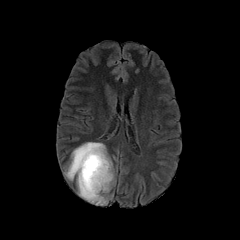
FLAIR MR image.
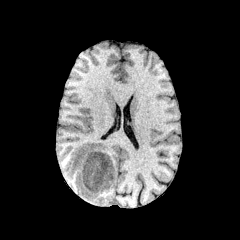
Same slice, T1-weighted MR.
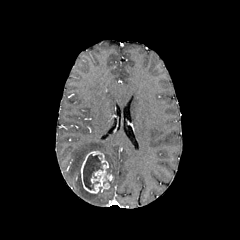
Post-contrast T1-weighted MRI.
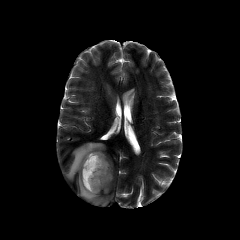
T2-weighted MR of the same slice.
Brain
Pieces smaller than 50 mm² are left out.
Annotated regions:
* enhancing tumor: l=80, t=151, r=112, b=193
* peritumoral edema: l=65, t=142, r=114, b=205
* necrotic tumor core: l=83, t=154, r=105, b=189